FLAIR MRI.
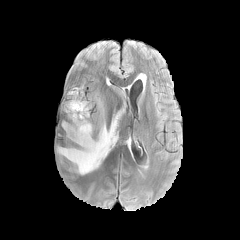
T1-weighted MR.
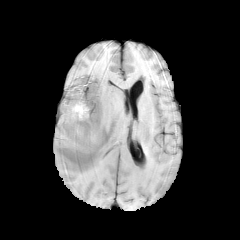
Post-contrast T1-weighted magnetic resonance.
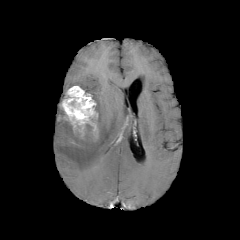
T2-weighted MR.
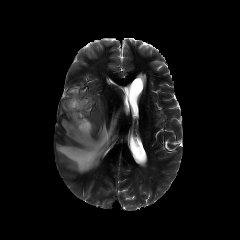
Axial view, Brain
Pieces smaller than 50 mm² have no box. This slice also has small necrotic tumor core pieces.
peritumoral edema: 56,112,120,174; 92,96,103,116 | enhancing tumor: 61,86,97,141